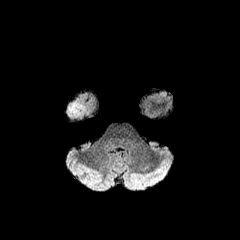
FLAIR MR.
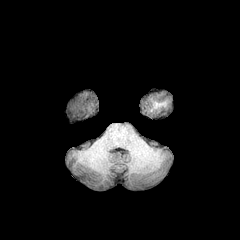
T1-weighted MR image.
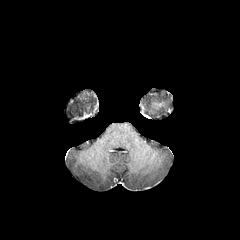
Post-contrast T1-weighted MR of the same slice.
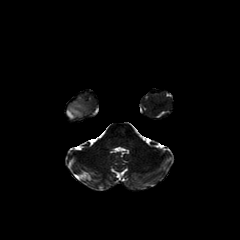
T2-weighted MR image.
Brain.
peritumoral edema: bounding box (left=66, top=103, right=85, bottom=120)